FLAIR magnetic resonance.
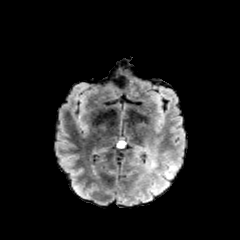
T1-weighted MR.
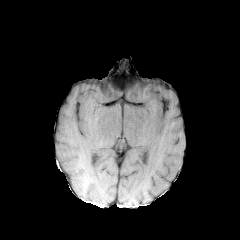
Post-contrast T1-weighted magnetic resonance.
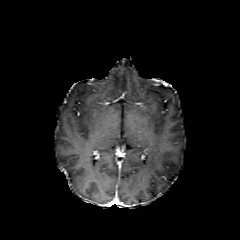
T2-weighted MR.
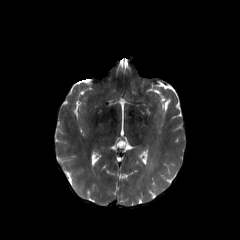
Axial plane
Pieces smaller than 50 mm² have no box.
peritumoral edema — 150 158 184 195